FLAIR MR image.
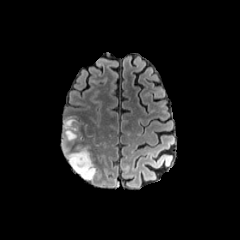
T1-weighted MRI.
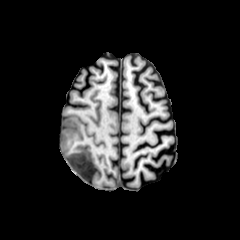
Post-contrast T1-weighted MRI.
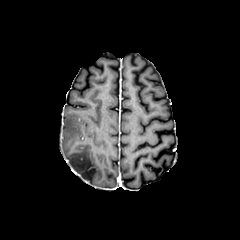
T2-weighted MR image.
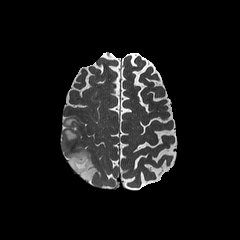
Axial view
The peritumoral edema is at <bbox>62, 115, 95, 179</bbox>. The enhancing tumor lies within <bbox>66, 131, 74, 145</bbox>.